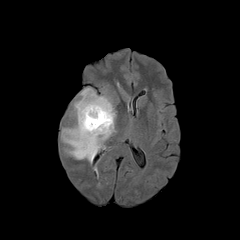
FLAIR magnetic resonance.
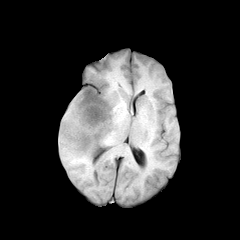
T1-weighted MRI of the same slice.
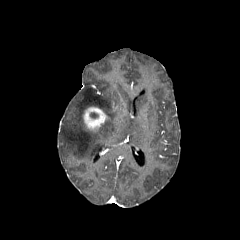
Post-contrast T1-weighted MR of the same slice.
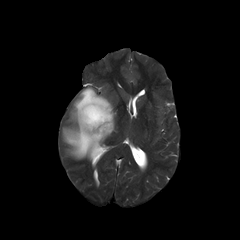
T2-weighted MR of the same slice.
Axial plane, Brain
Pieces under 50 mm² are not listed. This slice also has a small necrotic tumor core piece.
enhancing tumor: x1=82 y1=106 x2=109 y2=131 | peritumoral edema: x1=61 y1=87 x2=115 y2=162